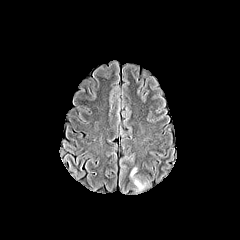
FLAIR magnetic resonance.
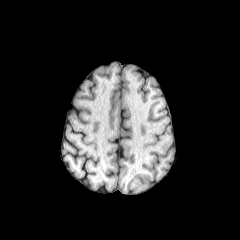
T1-weighted magnetic resonance of the same slice.
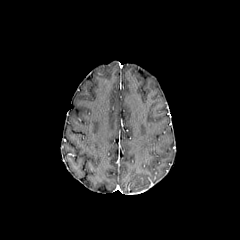
Post-contrast T1-weighted magnetic resonance of the same slice.
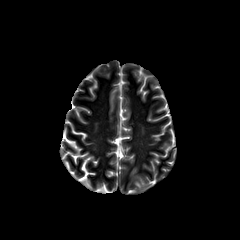
T2-weighted MR.
Axial view; 240x240 px
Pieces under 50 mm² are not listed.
peritumoral_edema:
  - [134, 179, 144, 189]